FLAIR magnetic resonance.
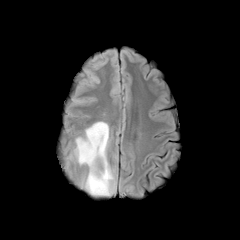
T1-weighted MRI.
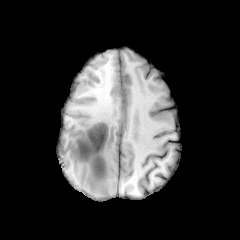
Post-contrast T1-weighted MRI.
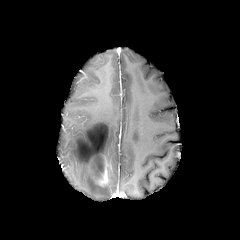
T2-weighted magnetic resonance.
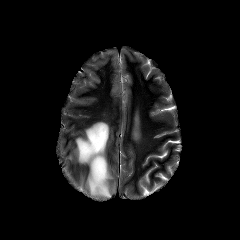
Image size 240x240 | Axial plane
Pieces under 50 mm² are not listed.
<segmentation>
  <necrotic_tumor_core>[94, 159, 103, 176]</necrotic_tumor_core>
  <enhancing_tumor>[91, 158, 108, 185]</enhancing_tumor>
  <peritumoral_edema>[73, 121, 115, 196]</peritumoral_edema>
</segmentation>